Slice index 56
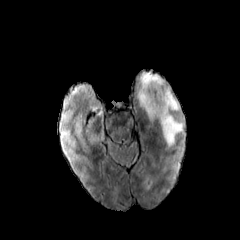
FLAIR MR.
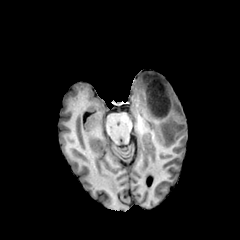
T1-weighted MR image.
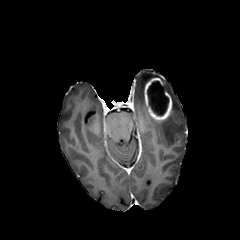
Post-contrast T1-weighted MR.
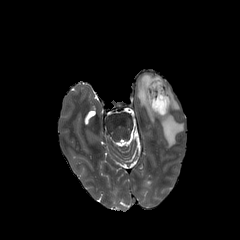
Same slice, T2-weighted MR image.
peritumoral edema: bounding box [x1=166, y1=85, x2=180, y2=111], [x1=159, y1=112, x2=184, y2=146], [x1=137, y1=72, x2=160, y2=120]
enhancing tumor: bounding box [x1=144, y1=77, x2=172, y2=120]
necrotic tumor core: bounding box [x1=147, y1=81, x2=168, y2=115]